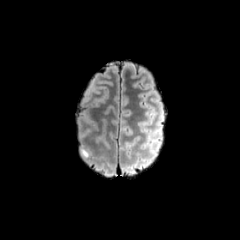
FLAIR MR.
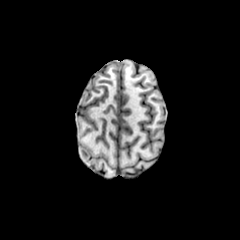
T1-weighted magnetic resonance.
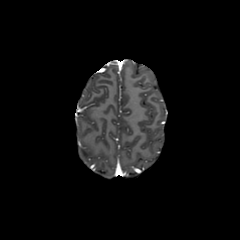
Same slice, post-contrast T1-weighted magnetic resonance.
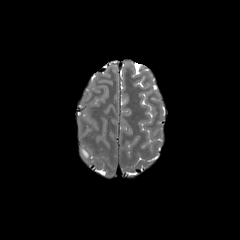
T2-weighted MRI.
Image size 240x240
peritumoral edema: bounding box 81, 148, 88, 158